FLAIR MR.
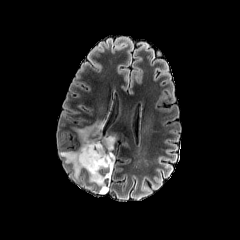
T1-weighted magnetic resonance.
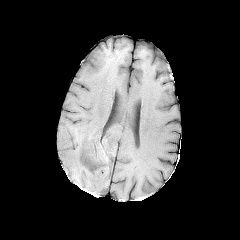
Post-contrast T1-weighted MR image.
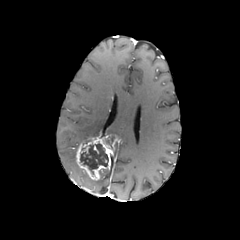
T2-weighted MRI.
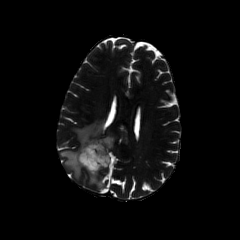
Head.
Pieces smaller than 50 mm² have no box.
The 3 largest peritumoral edema regions are bounded by {"x1": 90, "y1": 161, "x2": 113, "y2": 184}, {"x1": 60, "y1": 151, "x2": 81, "y2": 178}, {"x1": 76, "y1": 121, "x2": 104, "y2": 142}. The largest necrotic tumor core region lies within {"x1": 80, "y1": 143, "x2": 108, "y2": 174}. The largest enhancing tumor region is bounded by {"x1": 76, "y1": 132, "x2": 117, "y2": 180}.